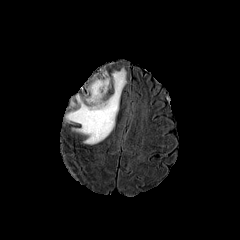
FLAIR MR image.
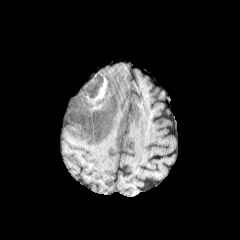
T1-weighted magnetic resonance.
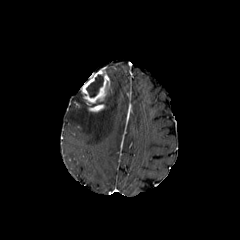
Post-contrast T1-weighted magnetic resonance.
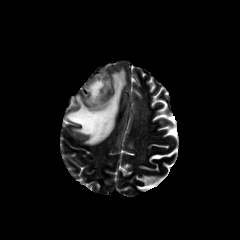
Same slice, T2-weighted MR.
Axial view; 240x240 px
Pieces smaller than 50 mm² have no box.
necrotic tumor core at 86:74:103:97
peritumoral edema at 65:68:126:144
enhancing tumor at 81:68:110:112